FLAIR MR.
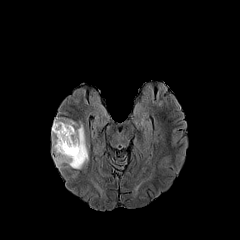
T1-weighted MR image.
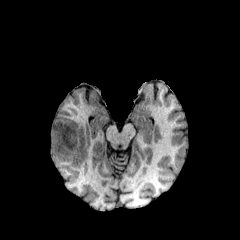
Post-contrast T1-weighted magnetic resonance.
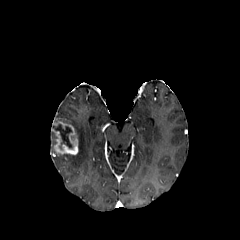
T2-weighted MR image.
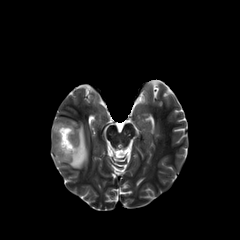
Brain
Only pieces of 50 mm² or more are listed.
peritumoral edema: (51,132,55,153), (53,118,88,169) | enhancing tumor: (51,118,78,154) | necrotic tumor core: (53,124,72,148)